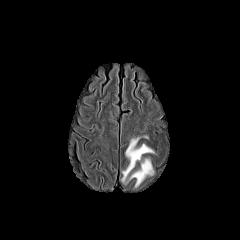
FLAIR MR.
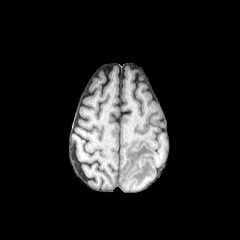
T1-weighted MR.
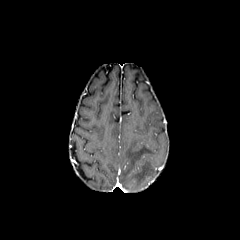
Same slice, post-contrast T1-weighted MR image.
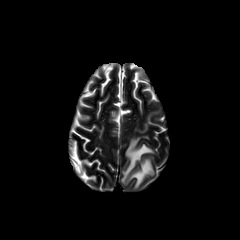
T2-weighted magnetic resonance of the same slice.
Axial slice; Brain
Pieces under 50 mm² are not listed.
The 2 largest peritumoral edema regions are located at left=127, top=158, right=153, bottom=187; left=122, top=137, right=153, bottom=182.